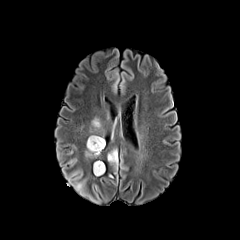
FLAIR MRI.
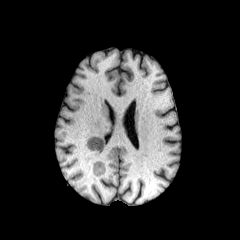
T1-weighted MR of the same slice.
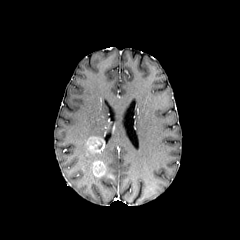
Same slice, post-contrast T1-weighted magnetic resonance.
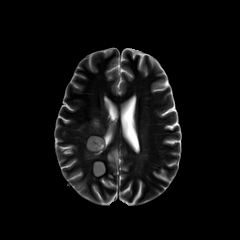
T2-weighted MRI of the same slice.
Brain
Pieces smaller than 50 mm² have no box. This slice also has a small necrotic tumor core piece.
2 enhancing tumor regions are bounded by {"x1": 93, "y1": 161, "x2": 105, "y2": 176}, {"x1": 87, "y1": 136, "x2": 104, "y2": 153}. The 2 largest peritumoral edema regions are bounded by {"x1": 107, "y1": 150, "x2": 117, "y2": 164}, {"x1": 92, "y1": 119, "x2": 100, "y2": 127}.